Slice 99 of 155; Brain
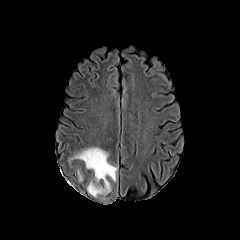
FLAIR MR image.
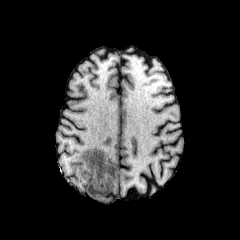
T1-weighted MR of the same slice.
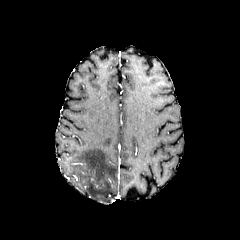
Post-contrast T1-weighted MRI.
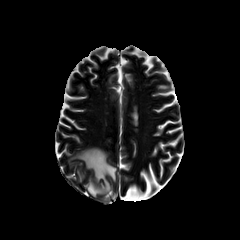
T2-weighted MR.
peritumoral edema — region(76, 168, 83, 182); region(67, 147, 118, 197)